FLAIR MRI.
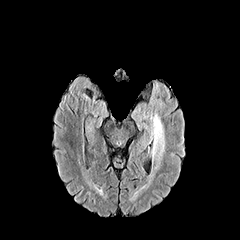
T1-weighted magnetic resonance.
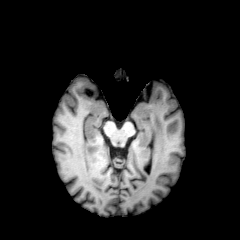
Post-contrast T1-weighted MRI.
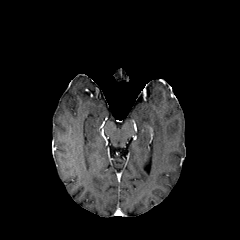
T2-weighted MR image.
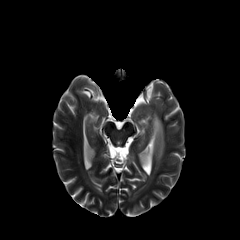
Brain | 240x240 px | Axial plane
Segmented structures:
- peritumoral edema: [x1=145, y1=108, x2=165, y2=190]